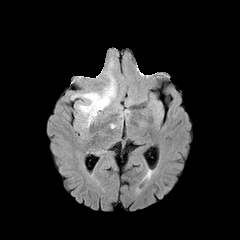
FLAIR MRI.
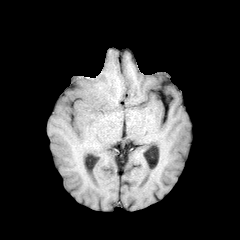
T1-weighted MRI.
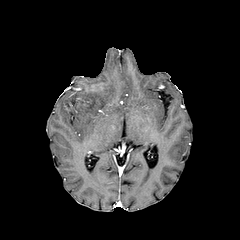
Same slice, post-contrast T1-weighted MR.
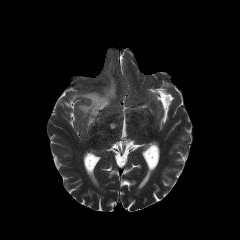
T2-weighted MR image.
Image size 240x240, Axial view
The peritumoral edema appears at 72 57 117 127.